240x240; Brain
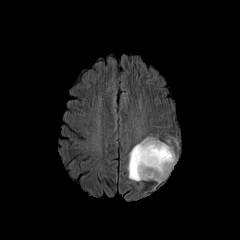
FLAIR MR image.
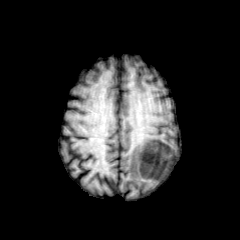
Same slice, T1-weighted MRI.
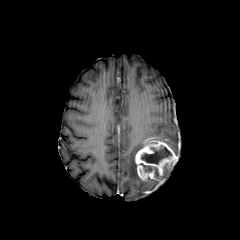
Post-contrast T1-weighted MR image.
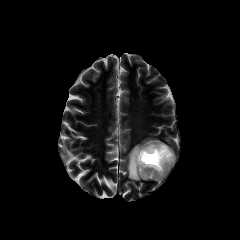
Same slice, T2-weighted magnetic resonance.
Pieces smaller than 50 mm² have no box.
The largest peritumoral edema region lies within x1=127, y1=137, x2=153, y2=181. The enhancing tumor is located at x1=135, y1=138, x2=176, y2=181. The 2 largest necrotic tumor core regions are bounded by x1=140, y1=163, x2=152, y2=171; x1=141, y1=147, x2=171, y2=164.